FLAIR MR image.
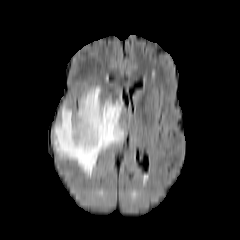
T1-weighted magnetic resonance.
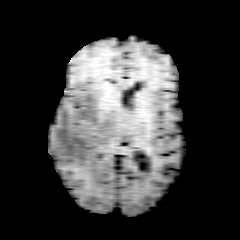
Post-contrast T1-weighted MR.
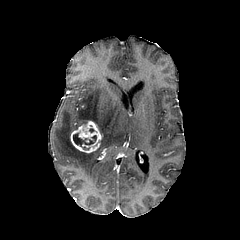
T2-weighted MR.
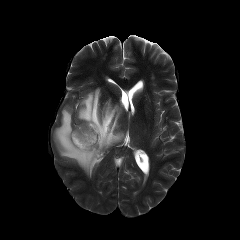
Image size 240x240. Axial view.
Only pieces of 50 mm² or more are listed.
The largest necrotic tumor core region is bounded by x1=73 y1=133 x2=96 y2=146. The enhancing tumor is at x1=70 y1=121 x2=102 y2=153. The peritumoral edema lies within x1=54 y1=87 x2=124 y2=177.